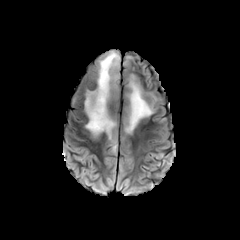
FLAIR MRI.
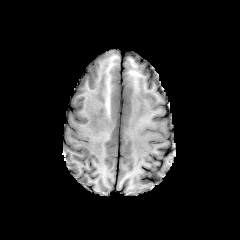
T1-weighted magnetic resonance.
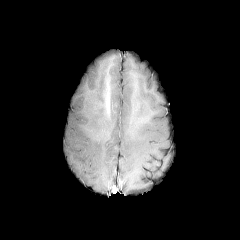
Post-contrast T1-weighted MRI of the same slice.
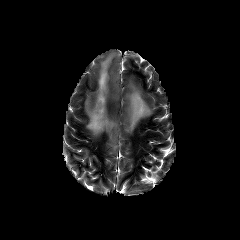
T2-weighted MR image.
Image size 240x240. Axial slice.
Segmented structures:
* peritumoral edema: (84,51,119,153), (124,74,156,134)